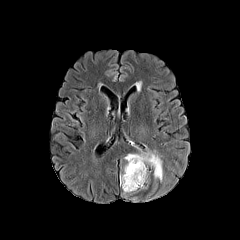
FLAIR MR image.
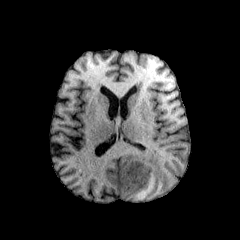
T1-weighted MRI.
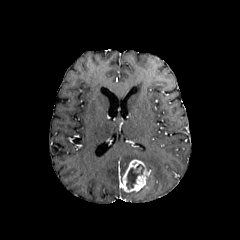
Post-contrast T1-weighted MRI.
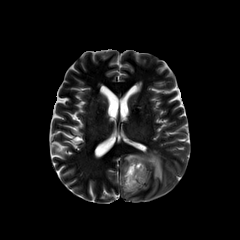
Same slice, T2-weighted MR.
Axial slice
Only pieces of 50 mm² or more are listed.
The largest peritumoral edema region is bounded by 121 150 163 181. The largest enhancing tumor region is bounded by 120 159 150 192. The necrotic tumor core is at 127 164 143 188.